Image width 240 mm, 1.00 mm slice spacing, 240x240, Brain, Slice index 68
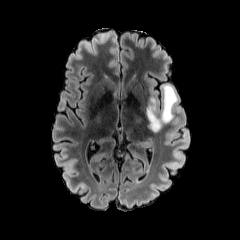
FLAIR MR image.
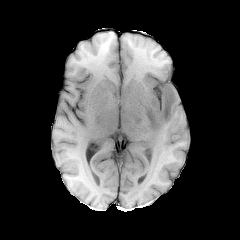
Same slice, T1-weighted magnetic resonance.
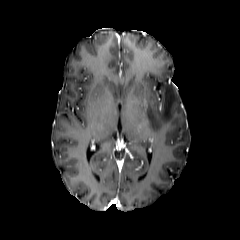
Post-contrast T1-weighted MRI.
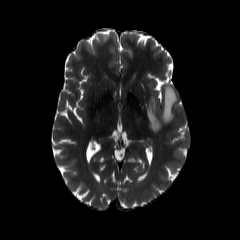
Same slice, T2-weighted MR image.
The peritumoral edema lies within {"x1": 146, "y1": 84, "x2": 178, "y2": 132}.